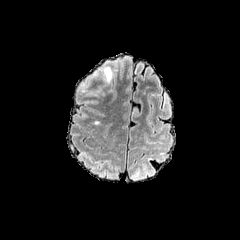
FLAIR MR image.
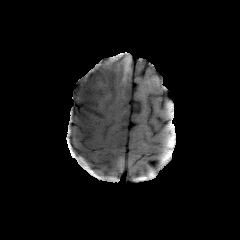
Same slice, T1-weighted MRI.
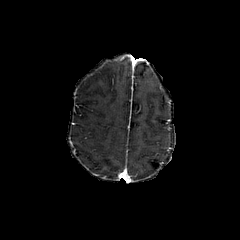
Post-contrast T1-weighted MRI.
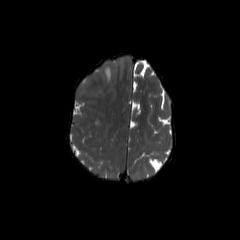
T2-weighted MR image.
Axial plane
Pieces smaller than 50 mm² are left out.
peritumoral edema: box=[102, 67, 115, 84]